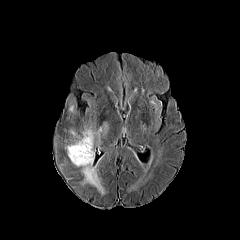
FLAIR magnetic resonance.
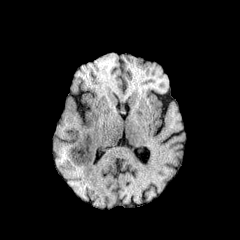
T1-weighted MR.
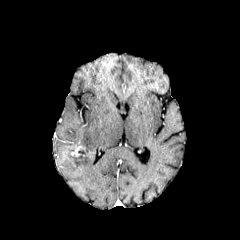
Post-contrast T1-weighted MRI.
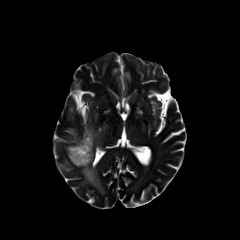
T2-weighted MR image.
Axial view, Brain
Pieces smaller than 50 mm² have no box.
Annotated regions:
* enhancing tumor: (left=71, top=145, right=86, bottom=157)
* peritumoral edema: (left=65, top=127, right=104, bottom=194)
* necrotic tumor core: (left=78, top=149, right=88, bottom=157)